FLAIR magnetic resonance.
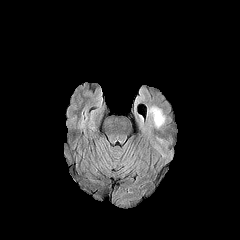
T1-weighted MR image.
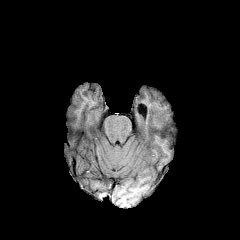
Post-contrast T1-weighted MRI.
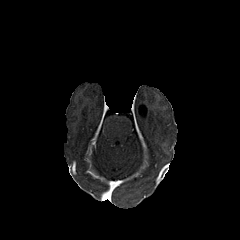
T2-weighted MR.
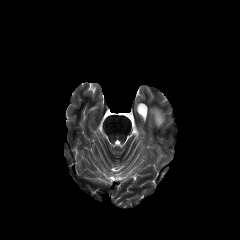
Brain, Axial slice
The peritumoral edema is located at x1=149 y1=107 x2=164 y2=126.